Image width 240 mm; Head; Axial view
FLAIR MRI.
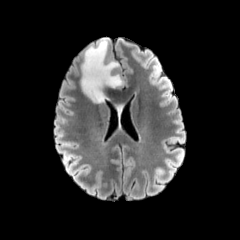
T1-weighted MR image.
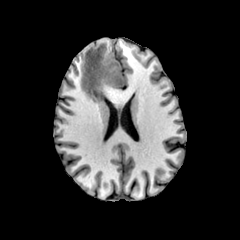
Post-contrast T1-weighted MRI.
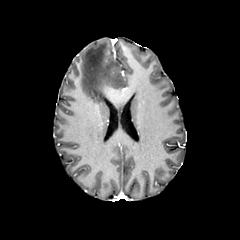
T2-weighted MRI.
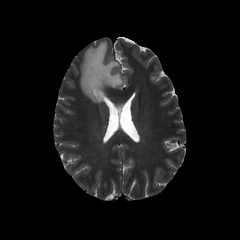
peritumoral edema: bbox(81, 38, 123, 102)